FLAIR magnetic resonance.
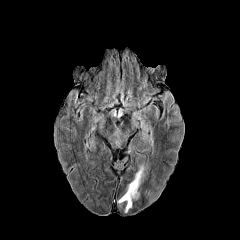
T1-weighted MR image.
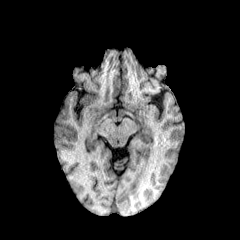
Post-contrast T1-weighted MR image.
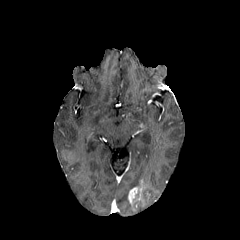
T2-weighted MR.
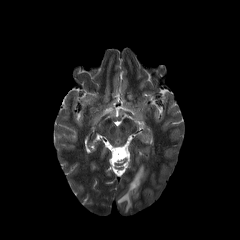
240x240 | Axial plane
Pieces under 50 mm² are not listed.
• peritumoral edema: 118,162,145,212
• enhancing tumor: 128,187,137,203